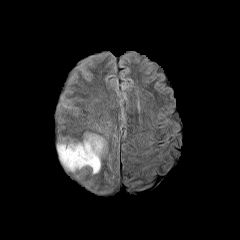
FLAIR MR.
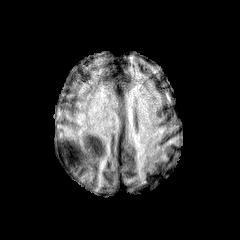
T1-weighted MR.
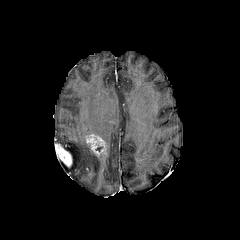
Post-contrast T1-weighted MR image.
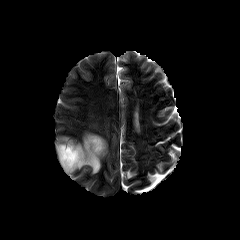
T2-weighted magnetic resonance.
Head.
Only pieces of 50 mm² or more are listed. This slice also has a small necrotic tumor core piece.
{"peritumoral_edema": ["(62,139,100,173)"], "enhancing_tumor": ["(55,143,72,167)", "(84,134,106,157)"]}